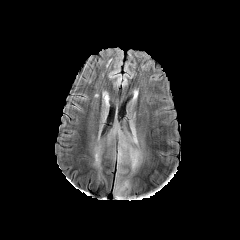
FLAIR MRI.
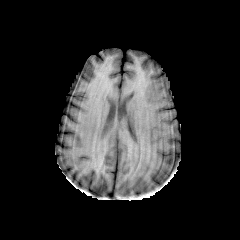
T1-weighted MR of the same slice.
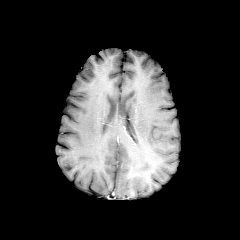
Post-contrast T1-weighted MRI of the same slice.
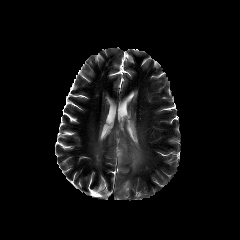
T2-weighted magnetic resonance of the same slice.
240x240 px. Brain.
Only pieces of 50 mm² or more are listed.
peritumoral edema = [x1=118, y1=147, x2=124, y2=161], [x1=120, y1=140, x2=127, y2=149], [x1=132, y1=126, x2=137, y2=144], [x1=129, y1=147, x2=139, y2=168]